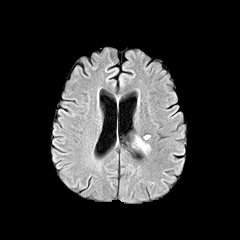
FLAIR magnetic resonance.
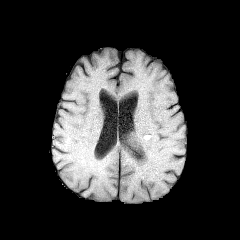
T1-weighted magnetic resonance of the same slice.
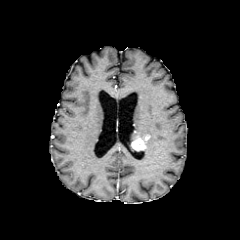
Same slice, post-contrast T1-weighted magnetic resonance.
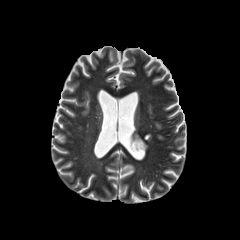
T2-weighted MR image of the same slice.
Axial view
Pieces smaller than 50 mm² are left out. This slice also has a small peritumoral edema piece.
• enhancing tumor: (left=132, top=137, right=145, bottom=150)